Slice 47 of 155. Image covers 240 mm x 240 mm.
FLAIR magnetic resonance.
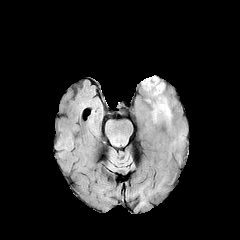
T1-weighted MR.
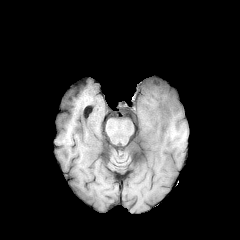
Post-contrast T1-weighted MR image.
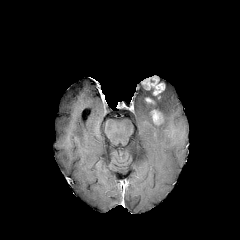
T2-weighted MR image.
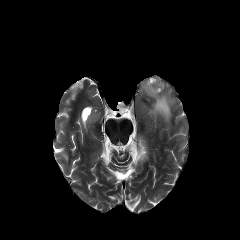
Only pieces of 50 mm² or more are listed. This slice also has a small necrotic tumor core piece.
Segmented structures:
• enhancing tumor: left=151, top=110, right=161, bottom=123; left=142, top=76, right=164, bottom=95
• peritumoral edema: left=145, top=90, right=171, bottom=122